Brain | Axial plane
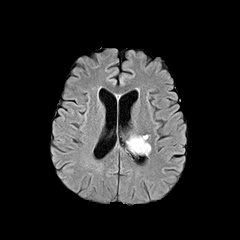
FLAIR MRI.
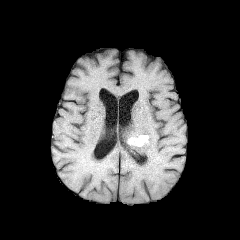
T1-weighted magnetic resonance.
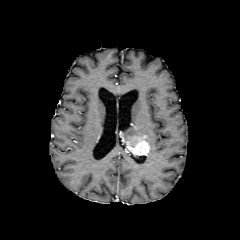
Post-contrast T1-weighted magnetic resonance.
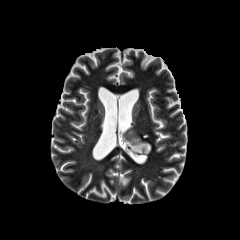
T2-weighted MR of the same slice.
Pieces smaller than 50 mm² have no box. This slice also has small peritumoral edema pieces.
The enhancing tumor is located at 127 137 149 155.